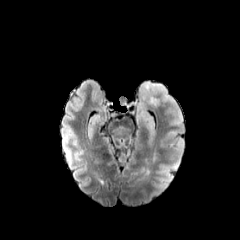
FLAIR magnetic resonance.
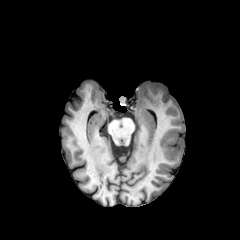
T1-weighted magnetic resonance.
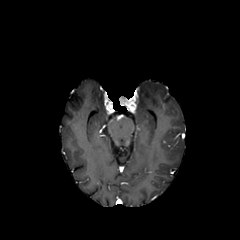
Post-contrast T1-weighted MR image.
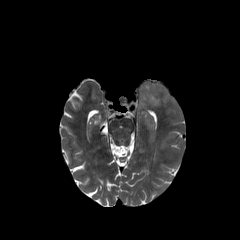
T2-weighted MR.
Head
The peritumoral edema is located at (137,80,184,147).